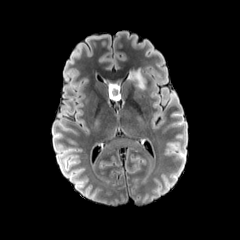
FLAIR MR.
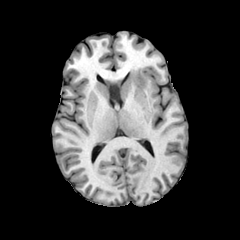
Same slice, T1-weighted MR image.
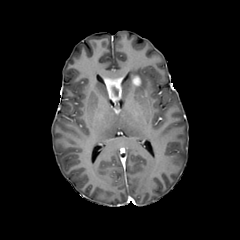
Same slice, post-contrast T1-weighted magnetic resonance.
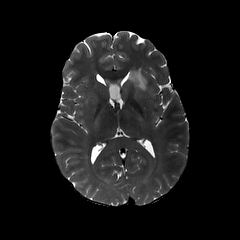
T2-weighted MR image of the same slice.
240x240, Axial slice, Brain
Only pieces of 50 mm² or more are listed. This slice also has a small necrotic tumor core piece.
peritumoral edema: x1=126 y1=67 x2=146 y2=90
enhancing tumor: x1=132 y1=76 x2=140 y2=87, x1=104 y1=78 x2=122 y2=101